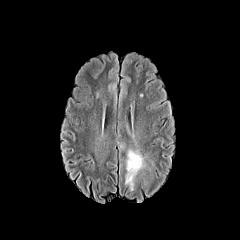
FLAIR MRI.
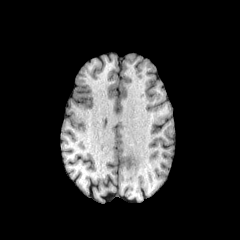
T1-weighted MRI.
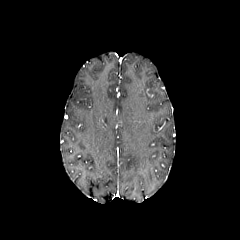
Post-contrast T1-weighted MRI.
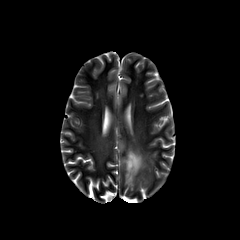
T2-weighted MR.
The peritumoral edema is bounded by box=[125, 150, 145, 190].